FLAIR MRI.
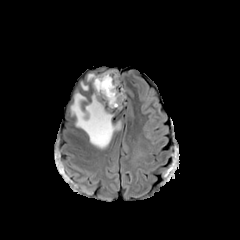
T1-weighted MR.
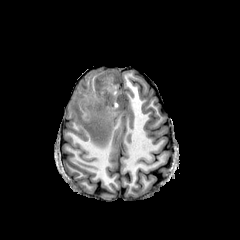
Post-contrast T1-weighted MR image.
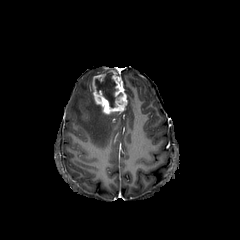
T2-weighted MR image.
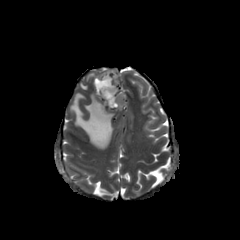
Axial slice
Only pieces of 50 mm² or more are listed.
The largest necrotic tumor core region appears at [95, 72, 121, 107]. The enhancing tumor is located at [93, 70, 127, 114]. The 3 largest peritumoral edema regions are located at [87, 73, 95, 81], [80, 82, 88, 90], [70, 92, 120, 149].